Image size 240x240 | Axial plane
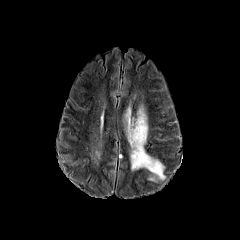
FLAIR MR.
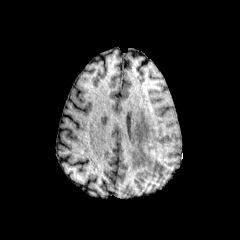
T1-weighted magnetic resonance.
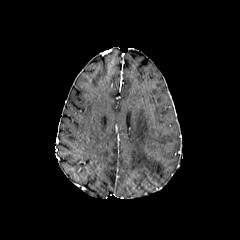
Post-contrast T1-weighted MR image.
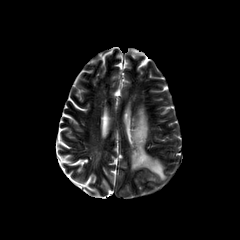
T2-weighted MR.
<segmentation>
  <peritumoral_edema>rect(127, 107, 164, 179)</peritumoral_edema>
</segmentation>